FLAIR MR.
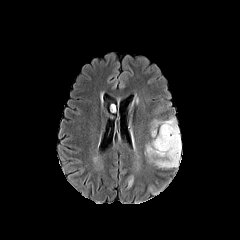
T1-weighted MR image.
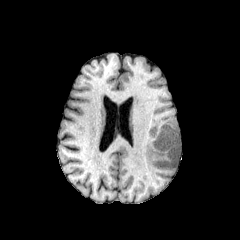
Post-contrast T1-weighted MR image.
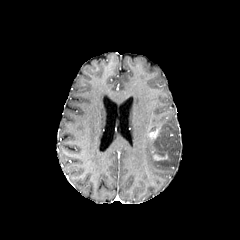
T2-weighted magnetic resonance.
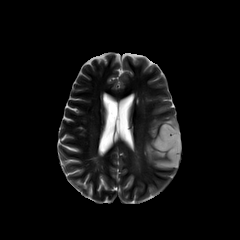
Axial plane. Image size 240x240.
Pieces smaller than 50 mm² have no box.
{
  "enhancing_tumor": [
    "region(153, 154, 167, 160)",
    "region(149, 127, 158, 138)"
  ],
  "peritumoral_edema": [
    "region(145, 116, 181, 168)"
  ]
}